FLAIR MRI.
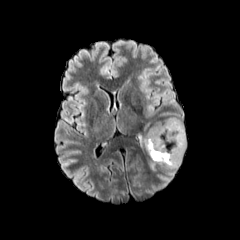
T1-weighted magnetic resonance.
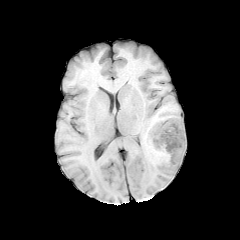
Post-contrast T1-weighted MRI.
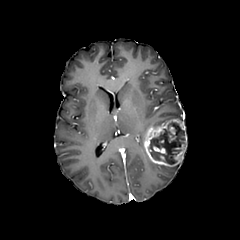
T2-weighted magnetic resonance.
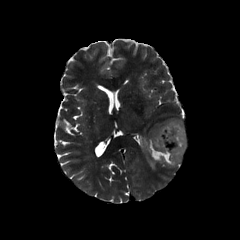
Head
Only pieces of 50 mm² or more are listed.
Findings:
• enhancing tumor: region(143, 119, 186, 167); region(153, 146, 165, 153)
• necrotic tumor core: region(149, 122, 184, 164)
• peritumoral edema: region(164, 164, 180, 170); region(139, 135, 145, 153)